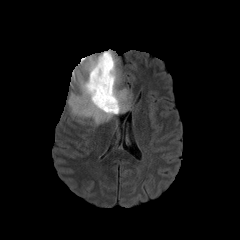
FLAIR magnetic resonance.
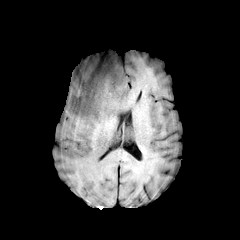
Same slice, T1-weighted magnetic resonance.
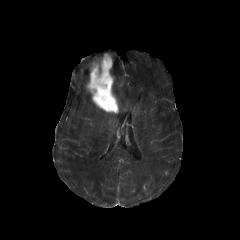
Post-contrast T1-weighted magnetic resonance.
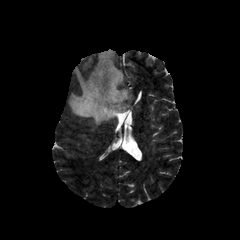
T2-weighted magnetic resonance of the same slice.
Axial view
The peritumoral edema is located at (x1=68, y1=50, x2=131, y2=125). The enhancing tumor is located at (x1=86, y1=53, x2=118, y2=113).